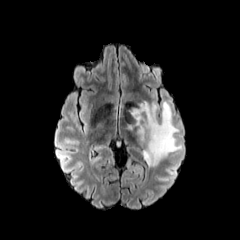
FLAIR magnetic resonance.
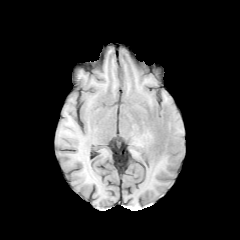
Same slice, T1-weighted magnetic resonance.
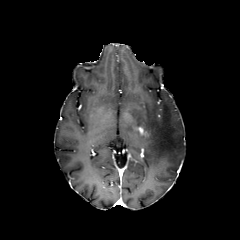
Post-contrast T1-weighted MR image of the same slice.
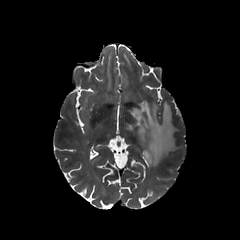
T2-weighted MR image.
Head | Axial slice
peritumoral edema: region(127, 100, 181, 167)
enhancing tumor: region(138, 126, 149, 137)